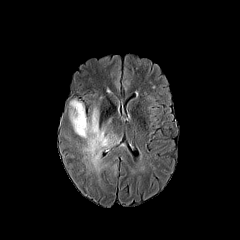
FLAIR MR.
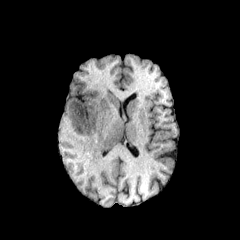
T1-weighted MRI.
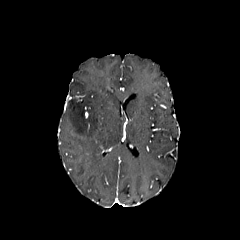
Post-contrast T1-weighted MR image.
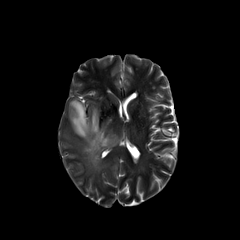
T2-weighted magnetic resonance of the same slice.
Head; 240x240 px
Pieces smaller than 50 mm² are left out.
peritumoral edema at x1=69, y1=99, x2=120, y2=173